FLAIR MRI.
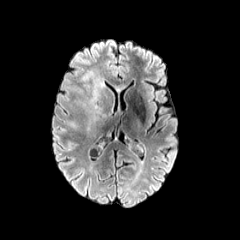
T1-weighted MRI.
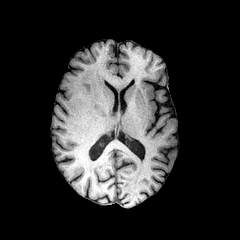
Post-contrast T1-weighted MR.
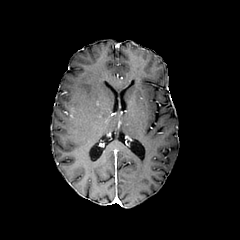
T2-weighted MRI.
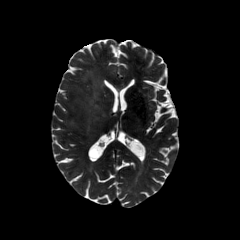
Brain
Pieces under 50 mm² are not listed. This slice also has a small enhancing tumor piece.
peritumoral_edema:
  - 82,71,93,80
  - 70,78,106,134